Axial slice, Head
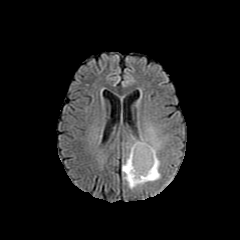
FLAIR MRI.
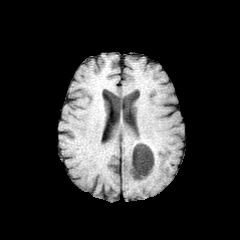
T1-weighted MRI of the same slice.
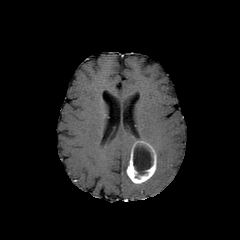
Post-contrast T1-weighted MR image of the same slice.
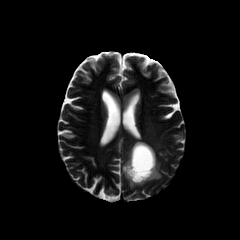
Same slice, T2-weighted MR image.
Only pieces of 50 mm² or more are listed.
* necrotic tumor core: <box>133,144,152,174</box>
* peritumoral edema: <box>140,127,162,153</box>, <box>122,138,161,189</box>
* enhancing tumor: <box>126,141,156,183</box>